Slice index 78; Head
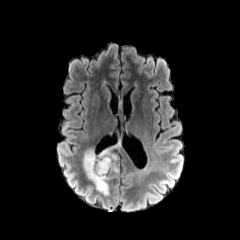
FLAIR magnetic resonance.
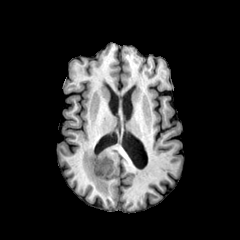
T1-weighted MR.
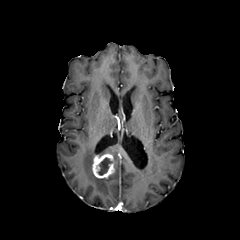
Same slice, post-contrast T1-weighted MR.
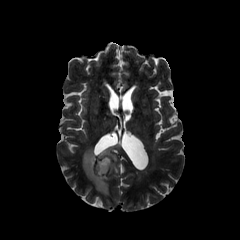
T2-weighted magnetic resonance.
2 peritumoral edema regions appear at x1=98 y1=143 x2=120 y2=172, x1=83 y1=148 x2=112 y2=195. The necrotic tumor core is bounded by x1=98 y1=157 x2=111 y2=175. The enhancing tumor is bounded by x1=92 y1=153 x2=114 y2=178.